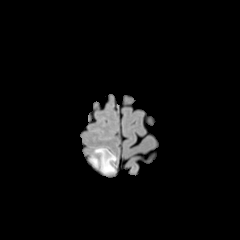
FLAIR magnetic resonance.
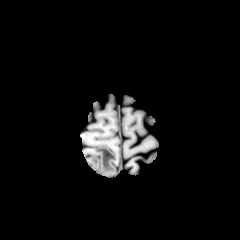
T1-weighted MR image.
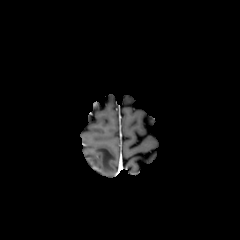
Post-contrast T1-weighted MR image.
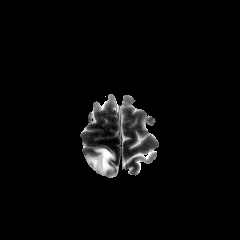
T2-weighted magnetic resonance of the same slice.
Axial slice. Brain.
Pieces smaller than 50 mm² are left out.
peritumoral edema: {"x1": 96, "y1": 148, "x2": 114, "y2": 172}